Axial plane; 240x240 px; Slice 99 of 155
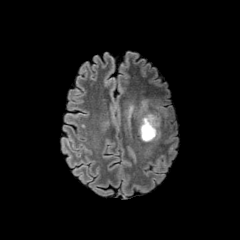
FLAIR MR image.
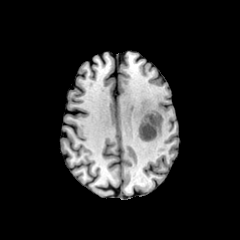
T1-weighted MR image.
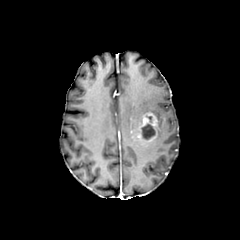
Post-contrast T1-weighted magnetic resonance.
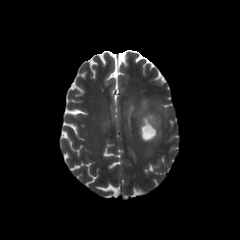
T2-weighted MR.
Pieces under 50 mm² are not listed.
peritumoral edema = 128, 105, 133, 121; 140, 101, 160, 139
necrotic tumor core = 142, 124, 154, 139
enhancing tumor = 139, 113, 158, 141